FLAIR MRI.
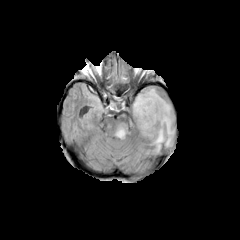
T1-weighted MRI.
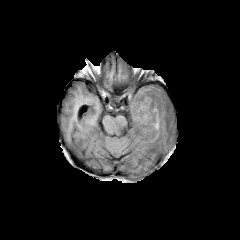
Post-contrast T1-weighted MR.
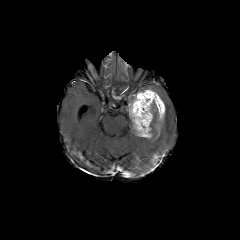
T2-weighted MR.
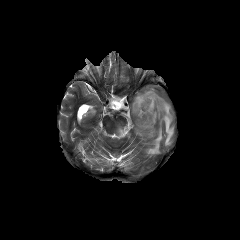
Axial view; Brain
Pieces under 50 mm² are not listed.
enhancing tumor = <bbox>127, 89, 165, 137</bbox>
peritumoral edema = <bbox>150, 98, 174, 153</bbox>, <bbox>117, 123, 126, 137</bbox>